Axial plane, 240x240 px
FLAIR MRI.
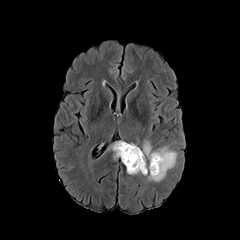
T1-weighted MR image.
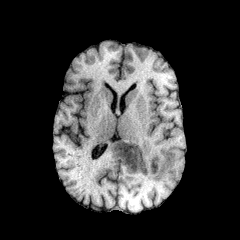
Post-contrast T1-weighted magnetic resonance.
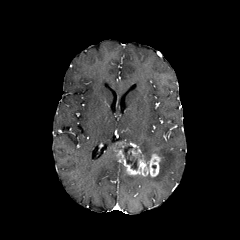
T2-weighted MR image.
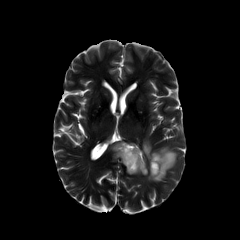
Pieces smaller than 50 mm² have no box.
Findings:
• peritumoral edema: box(142, 140, 177, 181)
• enhancing tumor: box(113, 141, 161, 176)
• necrotic tumor core: box(123, 146, 137, 169)